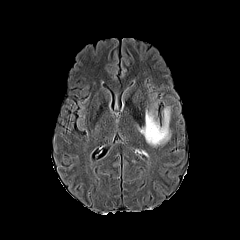
FLAIR MRI.
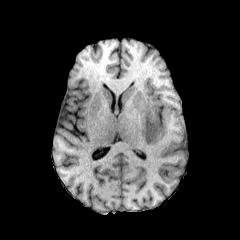
T1-weighted magnetic resonance.
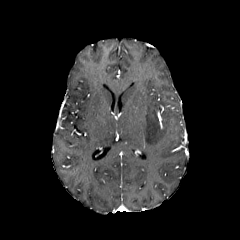
Same slice, post-contrast T1-weighted MR image.
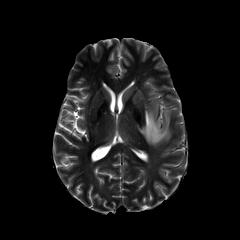
T2-weighted MR.
Image size 240x240; Axial slice; Head
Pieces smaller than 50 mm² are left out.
Annotated regions:
- peritumoral edema: 139 93 173 147